Image size 240x240, Axial plane
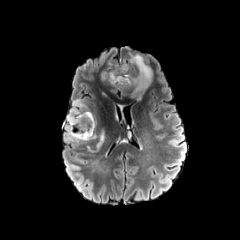
FLAIR MR image.
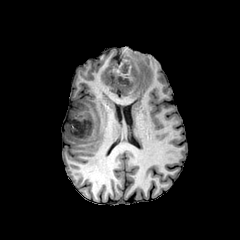
Same slice, T1-weighted magnetic resonance.
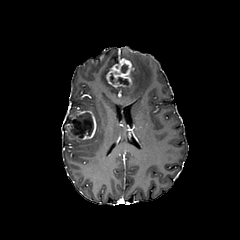
Post-contrast T1-weighted magnetic resonance.
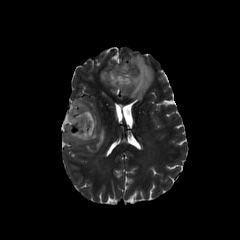
T2-weighted magnetic resonance.
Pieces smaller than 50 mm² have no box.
The 2 largest necrotic tumor core regions are located at region(66, 112, 93, 138); region(117, 77, 128, 85). The 4 largest peritumoral edema regions are bounded by region(70, 99, 86, 111); region(92, 131, 104, 150); region(129, 53, 152, 100); region(101, 71, 107, 81). 2 enhancing tumor regions are bounded by region(106, 58, 133, 87); region(66, 108, 96, 140).